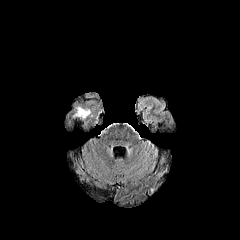
FLAIR magnetic resonance.
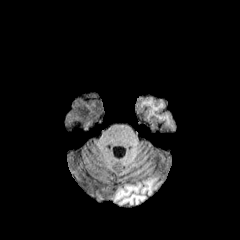
Same slice, T1-weighted MR.
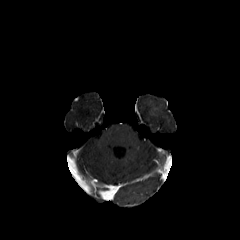
Post-contrast T1-weighted MR.
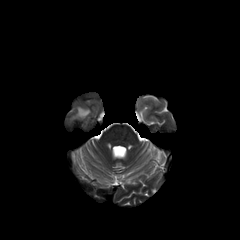
T2-weighted magnetic resonance.
240x240 px | Axial view
The peritumoral edema is at x1=74 y1=107 x2=90 y2=118.